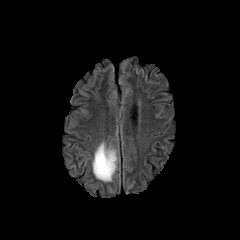
FLAIR MRI.
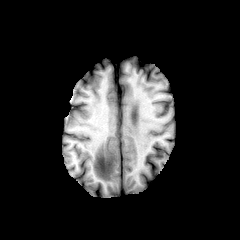
Same slice, T1-weighted magnetic resonance.
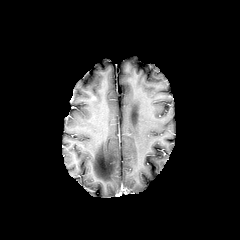
Post-contrast T1-weighted magnetic resonance of the same slice.
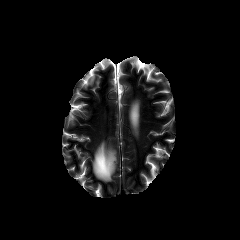
Same slice, T2-weighted MRI.
240x240 px, Axial slice
peritumoral edema: {"x1": 92, "y1": 142, "x2": 117, "y2": 181}